Brain
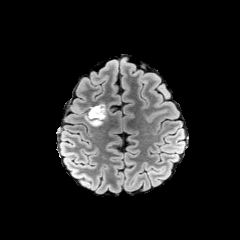
FLAIR MRI.
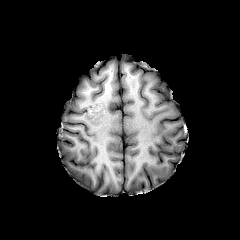
Same slice, T1-weighted magnetic resonance.
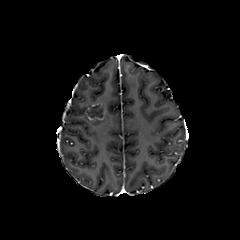
Post-contrast T1-weighted magnetic resonance of the same slice.
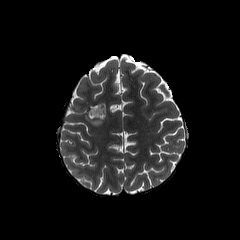
T2-weighted MR.
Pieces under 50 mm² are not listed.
necrotic_tumor_core:
  - [89,106,102,117]
peritumoral_edema:
  - [85,111,102,126]
enhancing_tumor:
  - [87,104,106,121]